FLAIR MRI.
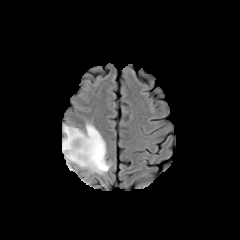
T1-weighted magnetic resonance.
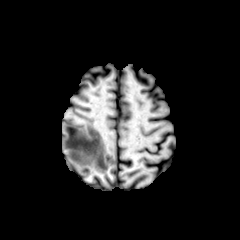
Post-contrast T1-weighted MRI.
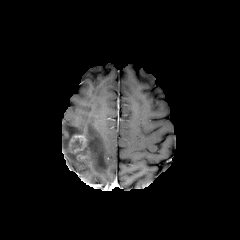
T2-weighted MRI.
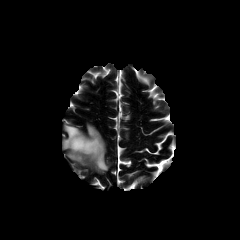
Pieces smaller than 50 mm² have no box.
necrotic tumor core at left=72, top=139, right=81, bottom=148
peritumoral edema at left=62, top=123, right=111, bottom=174
enhancing tumor at left=69, top=134, right=87, bottom=152